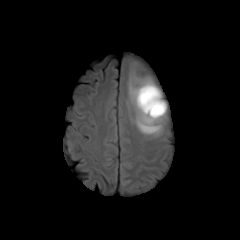
FLAIR magnetic resonance.
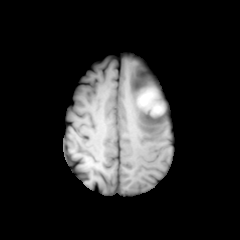
T1-weighted MR image.
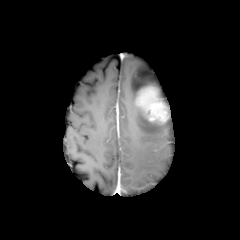
Post-contrast T1-weighted MRI.
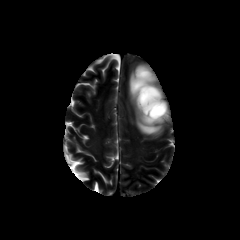
T2-weighted MR of the same slice.
Axial plane. Image size 240x240. Brain.
- enhancing tumor: l=137, t=86, r=167, b=122
- peritumoral edema: l=128, t=66, r=167, b=136